FLAIR MRI.
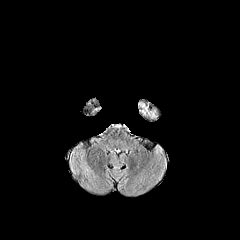
T1-weighted MR.
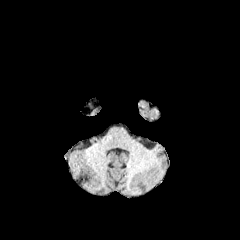
Post-contrast T1-weighted magnetic resonance.
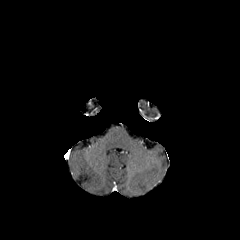
T2-weighted magnetic resonance.
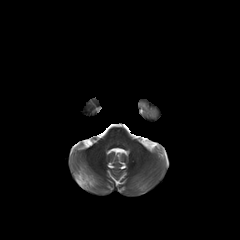
Image size 240x240; Head
Annotated regions:
- peritumoral edema: region(138, 102, 157, 118)